Head. 240x240 px. Axial slice.
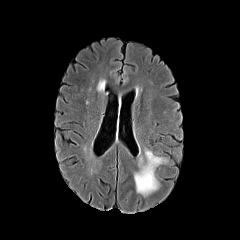
FLAIR MR.
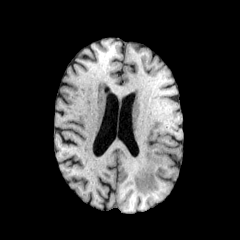
Same slice, T1-weighted MR image.
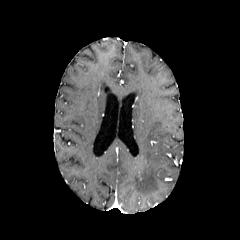
Post-contrast T1-weighted MR.
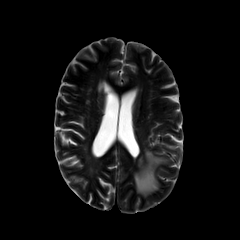
Same slice, T2-weighted MR.
Findings:
• peritumoral edema: x1=134, y1=148, x2=166, y2=196